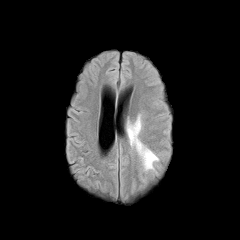
FLAIR MR.
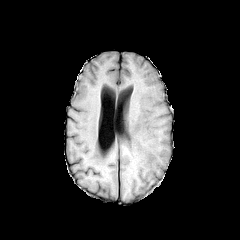
T1-weighted MR image.
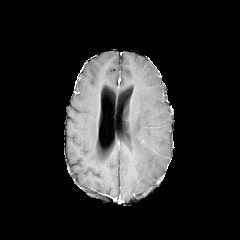
Post-contrast T1-weighted magnetic resonance of the same slice.
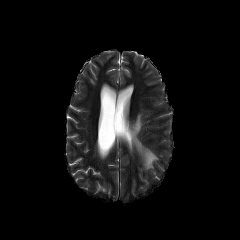
T2-weighted MR image of the same slice.
Axial slice | 240x240
The peritumoral edema is bounded by (x1=127, y1=115, x2=158, y2=170).